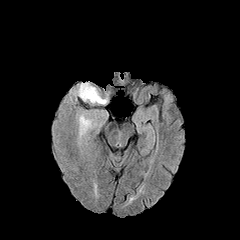
FLAIR MRI.
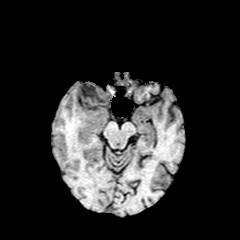
T1-weighted MRI.
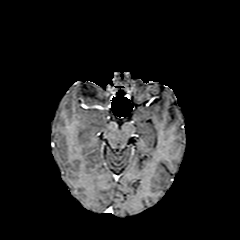
Post-contrast T1-weighted MRI.
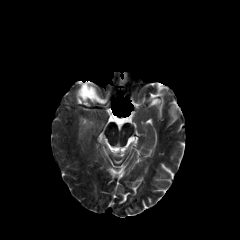
T2-weighted MR of the same slice.
<segmentation>
  <peritumoral_edema>[x1=80, y1=116, x2=90, y2=133], [x1=78, y1=83, x2=106, y2=103]</peritumoral_edema>
</segmentation>